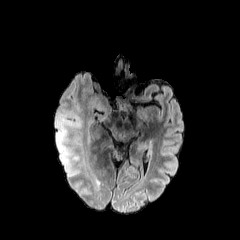
FLAIR MR image.
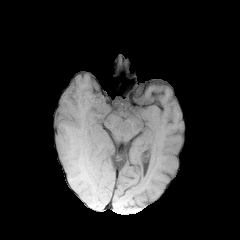
T1-weighted MR of the same slice.
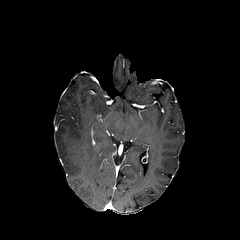
Same slice, post-contrast T1-weighted MR.
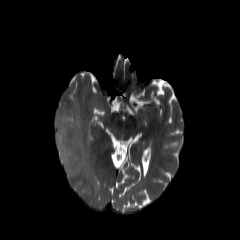
T2-weighted magnetic resonance.
Brain | Axial view
- peritumoral edema: x1=91 y1=100 x2=102 y2=110, x1=56 y1=110 x2=99 y2=188